FLAIR MR.
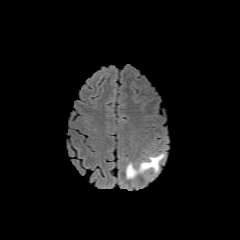
T1-weighted MRI.
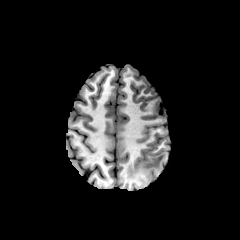
Post-contrast T1-weighted MR image.
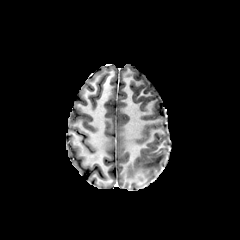
T2-weighted MR.
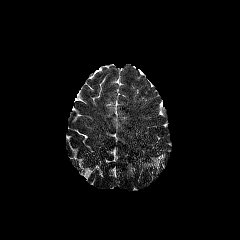
Brain.
The peritumoral edema appears at (x1=126, y1=153, x2=165, y2=178).